FLAIR MR.
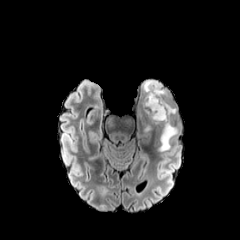
T1-weighted MR.
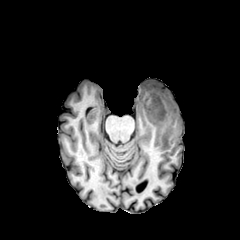
Post-contrast T1-weighted MRI.
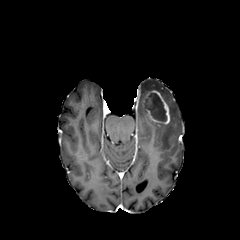
T2-weighted MR image.
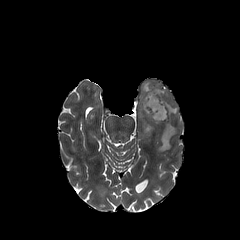
Axial plane.
The necrotic tumor core is located at l=145, t=93, r=166, b=121. The enhancing tumor lies within l=142, t=90, r=169, b=125. 2 peritumoral edema regions are located at l=142, t=107, r=155, b=132; l=142, t=80, r=178, b=151.